Axial plane
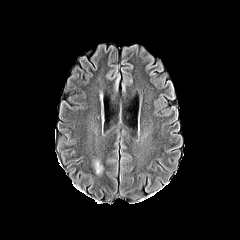
FLAIR MRI.
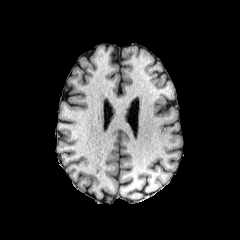
T1-weighted MR image.
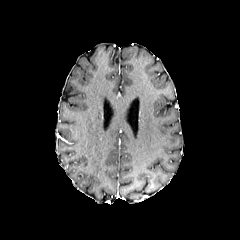
Post-contrast T1-weighted MR image.
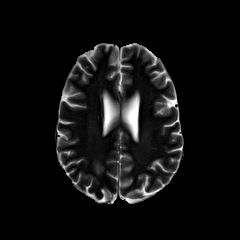
Same slice, T2-weighted MRI.
peritumoral edema: 95, 162, 102, 173